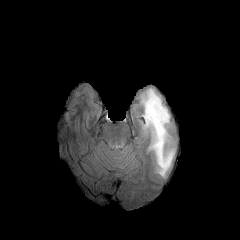
FLAIR MR image.
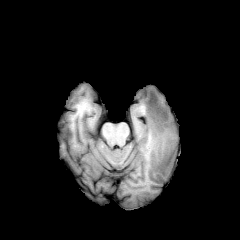
T1-weighted magnetic resonance.
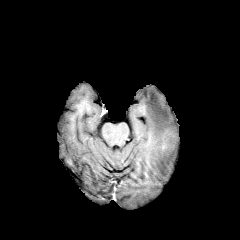
Post-contrast T1-weighted MR of the same slice.
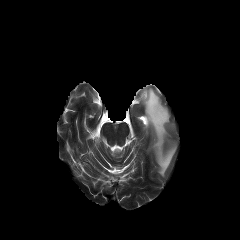
T2-weighted MRI.
Axial plane | Image size 240x240
peritumoral_edema:
  - left=140, top=88, right=175, bottom=177